FLAIR MRI.
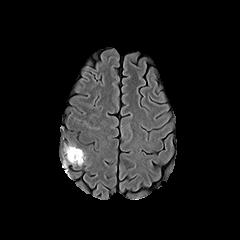
T1-weighted MRI.
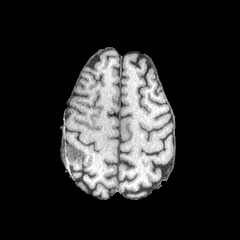
Post-contrast T1-weighted magnetic resonance.
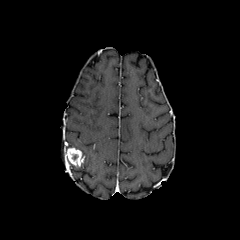
T2-weighted MRI.
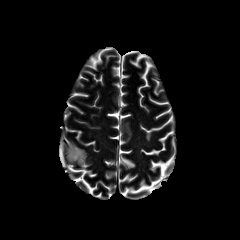
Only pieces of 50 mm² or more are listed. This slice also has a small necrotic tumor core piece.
peritumoral edema: 79 149 85 165, 63 145 78 159
enhancing tumor: 66 147 82 166